Brain, Image width 240 mm, Axial view
FLAIR MRI.
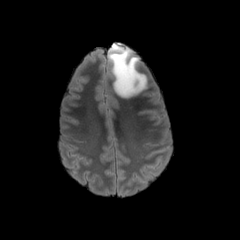
T1-weighted MR image.
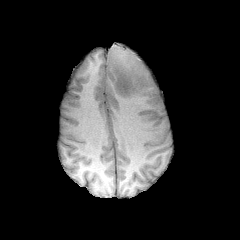
Post-contrast T1-weighted MRI.
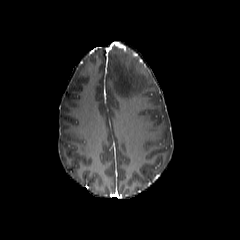
T2-weighted MR image.
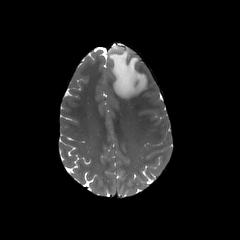
• peritumoral edema: {"x1": 108, "y1": 44, "x2": 147, "y2": 97}